240x240 | Head
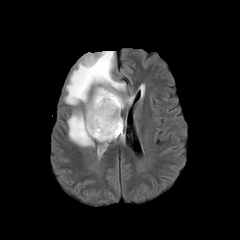
FLAIR MR image.
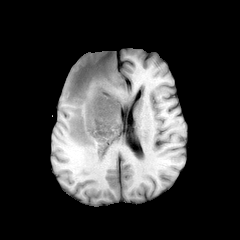
T1-weighted MR.
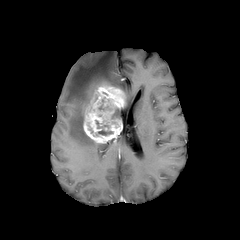
Post-contrast T1-weighted MR.
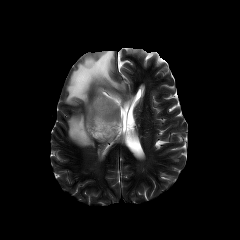
T2-weighted magnetic resonance of the same slice.
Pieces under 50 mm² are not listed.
The largest necrotic tumor core region is located at bbox(112, 109, 119, 118). The 2 largest peritumoral edema regions are located at bbox(65, 51, 125, 108); bbox(67, 111, 94, 146). The enhancing tumor is bounded by bbox(83, 80, 127, 143).